FLAIR MR image.
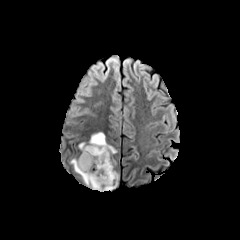
T1-weighted magnetic resonance.
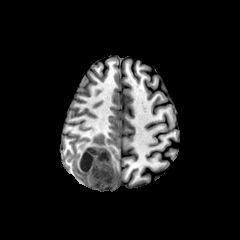
Post-contrast T1-weighted MRI.
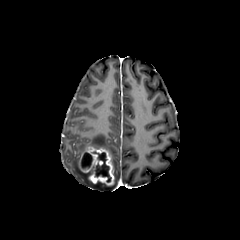
T2-weighted MRI.
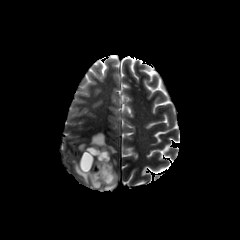
Head. Axial slice. 240x240.
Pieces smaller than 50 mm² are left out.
{"peritumoral_edema": ["79, 143, 88, 151", "71, 159, 113, 189", "89, 132, 116, 154"], "enhancing_tumor": ["79, 146, 114, 185"], "necrotic_tumor_core": ["92, 151, 111, 182", "80, 152, 92, 170"]}